Slice 95/155, Axial view, Head
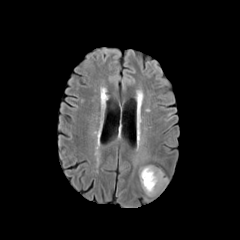
FLAIR MR image.
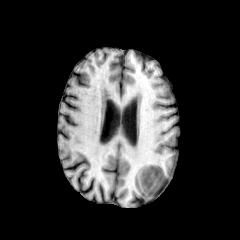
Same slice, T1-weighted MR.
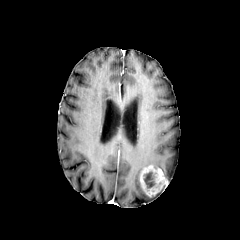
Post-contrast T1-weighted MRI.
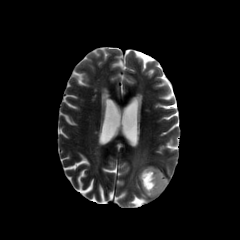
T2-weighted MRI.
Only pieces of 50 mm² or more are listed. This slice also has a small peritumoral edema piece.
necrotic tumor core: {"x1": 144, "y1": 172, "x2": 155, "y2": 188}
enhancing tumor: {"x1": 139, "y1": 165, "x2": 168, "y2": 196}